FLAIR magnetic resonance.
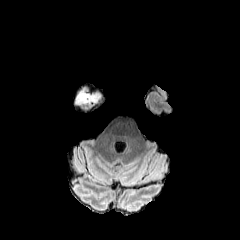
T1-weighted MR.
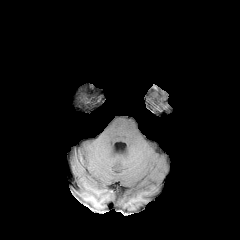
Post-contrast T1-weighted MR image.
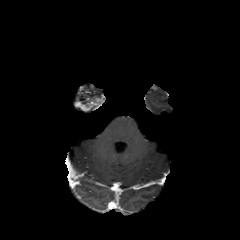
T2-weighted MR.
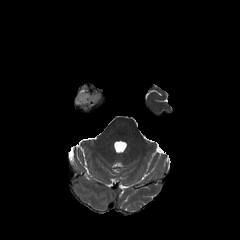
240x240 px, Head
enhancing tumor: bounding box left=79, top=98, right=100, bottom=110
peritumoral edema: bounding box left=74, top=92, right=101, bottom=109